FLAIR MR image.
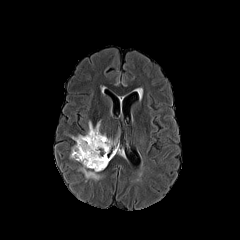
T1-weighted magnetic resonance.
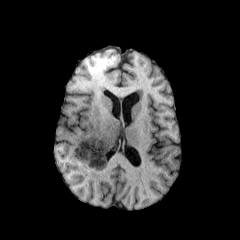
Post-contrast T1-weighted MR.
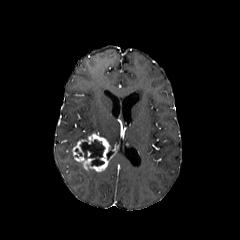
T2-weighted MRI.
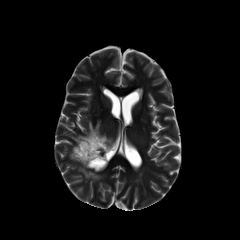
Brain. Image size 240x240.
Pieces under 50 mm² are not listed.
enhancing tumor: 72 132 116 171
necrotic tumor core: 80 140 104 166
peritumoral edema: 78 164 101 180, 72 121 114 149